FLAIR MR.
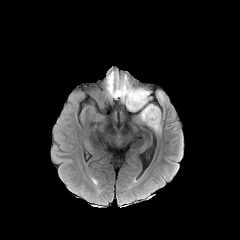
T1-weighted magnetic resonance.
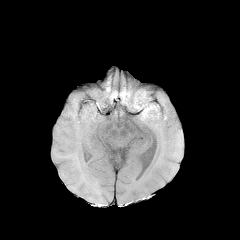
Post-contrast T1-weighted MR.
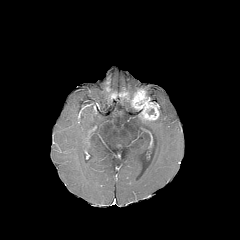
T2-weighted MR image.
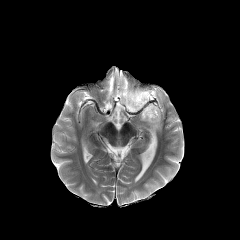
Head; Axial view
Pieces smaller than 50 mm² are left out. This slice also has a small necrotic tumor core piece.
• peritumoral edema: 143 109 160 131, 157 91 164 103, 116 83 141 111
• enhancing tumor: 130 89 159 120